Head
FLAIR MRI.
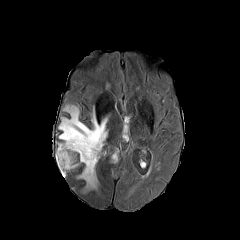
T1-weighted magnetic resonance.
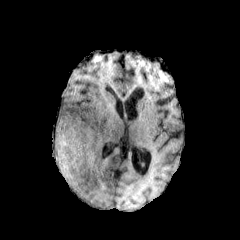
Post-contrast T1-weighted MR.
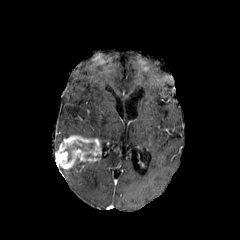
T2-weighted magnetic resonance.
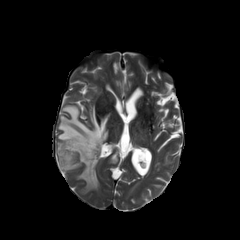
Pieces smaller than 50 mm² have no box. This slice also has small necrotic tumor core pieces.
peritumoral edema — x1=58 y1=105 x2=107 y2=147, x1=78 y1=161 x2=97 y2=189
enhancing tumor — x1=55 y1=135 x2=101 y2=169